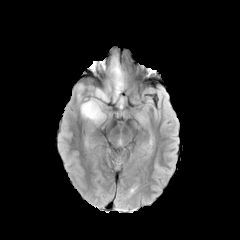
FLAIR MR.
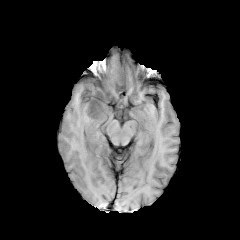
T1-weighted MR image of the same slice.
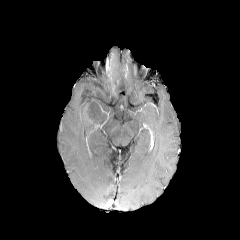
Post-contrast T1-weighted MR image.
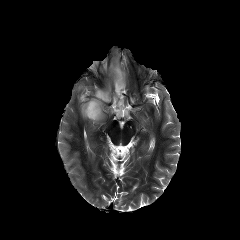
T2-weighted MR image.
The peritumoral edema appears at 80:56:124:123.